Axial slice, Brain, 240x240 px
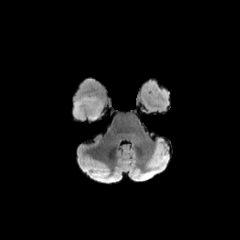
FLAIR MRI.
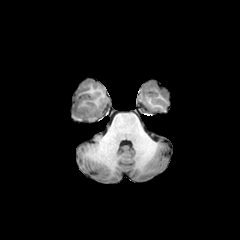
T1-weighted MRI.
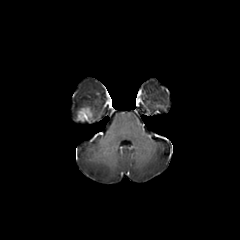
Post-contrast T1-weighted MRI.
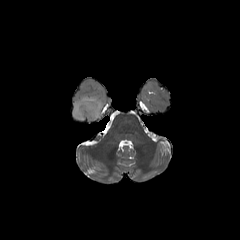
Same slice, T2-weighted magnetic resonance.
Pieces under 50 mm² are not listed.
peritumoral edema: box(73, 95, 102, 119)
enhancing tumor: box(77, 106, 94, 121)